Brain; 240x240
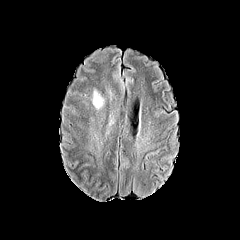
FLAIR MR image.
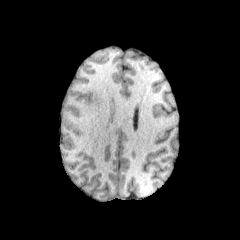
T1-weighted magnetic resonance.
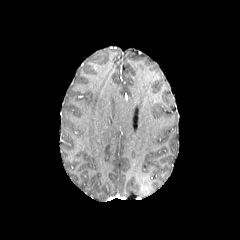
Post-contrast T1-weighted MRI of the same slice.
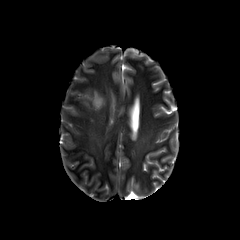
T2-weighted MR image.
<segmentation>
  <peritumoral_edema>(left=93, top=91, right=103, bottom=109)</peritumoral_edema>
</segmentation>